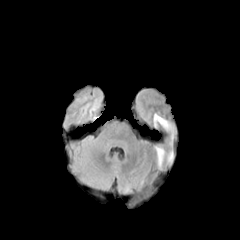
FLAIR MR.
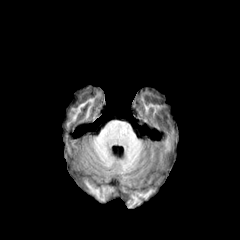
T1-weighted magnetic resonance of the same slice.
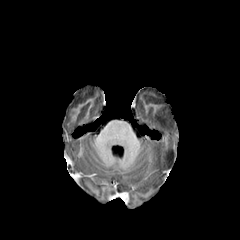
Same slice, post-contrast T1-weighted MR image.
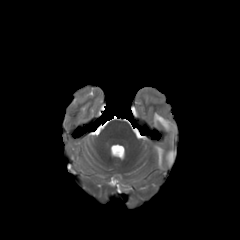
T2-weighted MR image.
peritumoral_edema:
  - 154,114,173,138
  - 166,150,174,163
  - 155,146,164,167